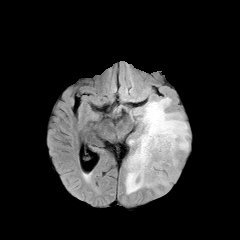
FLAIR magnetic resonance.
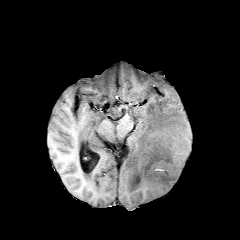
T1-weighted MRI of the same slice.
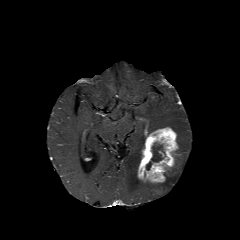
Post-contrast T1-weighted MR of the same slice.
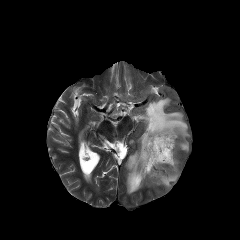
T2-weighted magnetic resonance.
Axial slice, Head
Segmented structures:
* enhancing tumor: 137 127 178 183
* necrotic tumor core: 146 143 164 170
* peritumoral edema: 125 131 179 194, 130 97 189 153